FLAIR magnetic resonance.
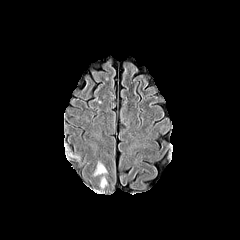
T1-weighted MR image.
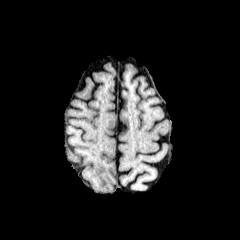
Post-contrast T1-weighted MR image.
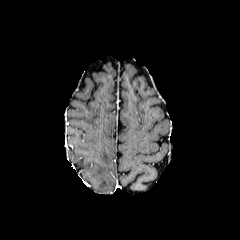
T2-weighted magnetic resonance.
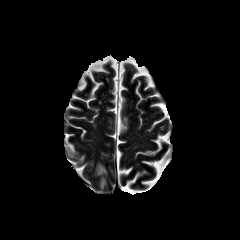
Head
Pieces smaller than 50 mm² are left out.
peritumoral edema: [94, 162, 106, 175]